FLAIR MR.
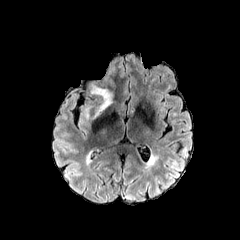
T1-weighted magnetic resonance.
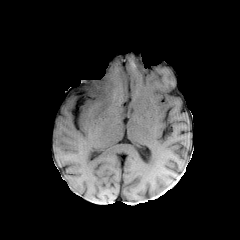
Post-contrast T1-weighted MRI.
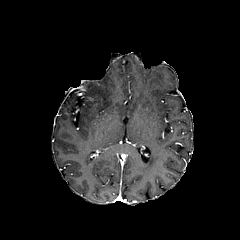
T2-weighted magnetic resonance.
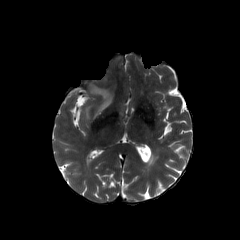
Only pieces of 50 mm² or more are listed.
peritumoral edema: {"x1": 82, "y1": 107, "x2": 90, "y2": 118}, {"x1": 90, "y1": 85, "x2": 112, "y2": 116}